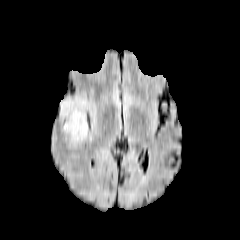
FLAIR magnetic resonance.
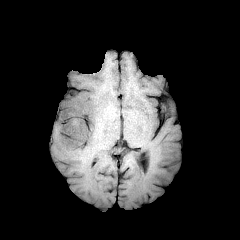
T1-weighted MR.
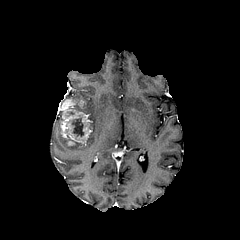
Post-contrast T1-weighted MR image.
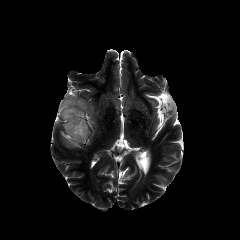
T2-weighted MR of the same slice.
Brain
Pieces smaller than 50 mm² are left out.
The largest necrotic tumor core region appears at box=[72, 118, 83, 136]. The largest peritumoral edema region is located at box=[73, 97, 88, 113]. The enhancing tumor lies within box=[59, 98, 91, 145].